FLAIR MRI.
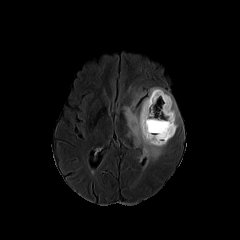
T1-weighted MR image.
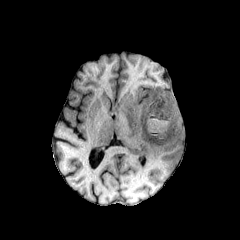
Post-contrast T1-weighted MR.
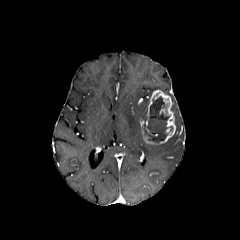
T2-weighted MRI.
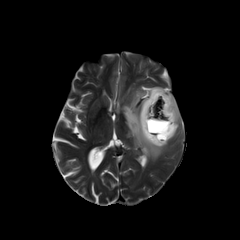
Axial view | Image size 240x240 | Head
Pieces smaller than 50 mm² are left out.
peritumoral edema = <bbox>123, 87, 180, 162</bbox>
necrotic tumor core = <bbox>143, 97, 168, 142</bbox>
enhancing tumor = <bbox>140, 89, 176, 144</bbox>